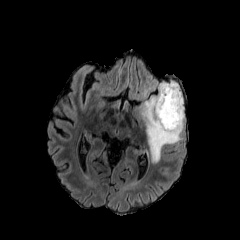
FLAIR MR.
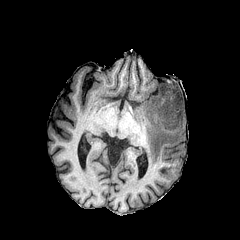
T1-weighted MR.
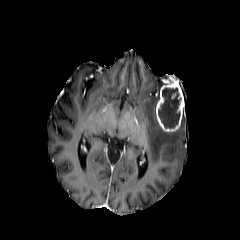
Post-contrast T1-weighted MR image.
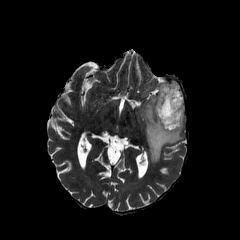
Same slice, T2-weighted MR.
Axial slice
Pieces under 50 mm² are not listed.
necrotic_tumor_core:
  - x1=158, y1=87, x2=181, y2=128
peritumoral_edema:
  - x1=140, y1=93, x2=185, y2=163
enhancing_tumor:
  - x1=155, y1=80, x2=184, y2=132